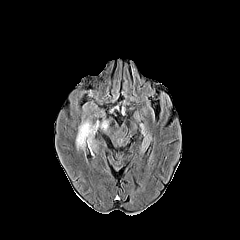
FLAIR MR.
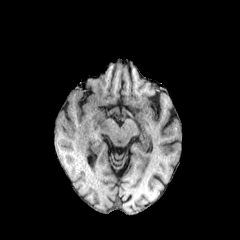
T1-weighted MR of the same slice.
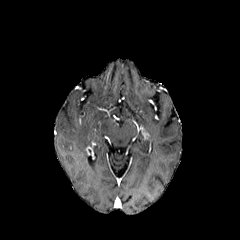
Same slice, post-contrast T1-weighted magnetic resonance.
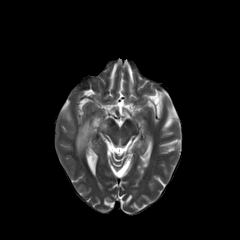
Same slice, T2-weighted MR image.
Brain
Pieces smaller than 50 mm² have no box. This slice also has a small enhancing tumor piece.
peritumoral edema: box(76, 120, 98, 150)